Slice index 63, Brain, 240x240 px
FLAIR MR.
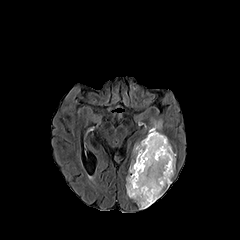
T1-weighted MR image.
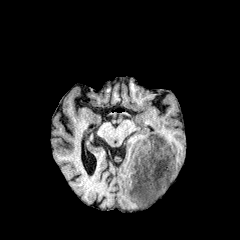
Post-contrast T1-weighted MRI.
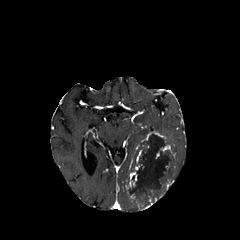
T2-weighted MRI.
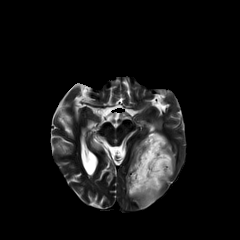
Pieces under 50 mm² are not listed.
necrotic tumor core: rect(128, 134, 174, 208) | enhancing tumor: rect(126, 164, 142, 199); rect(141, 131, 167, 142); rect(160, 144, 175, 157) | peritumoral edema: rect(133, 141, 140, 159); rect(149, 120, 162, 131)